FLAIR MR image.
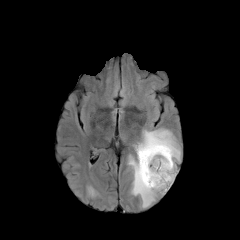
T1-weighted MR.
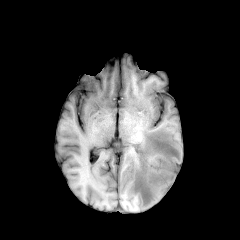
Post-contrast T1-weighted MRI.
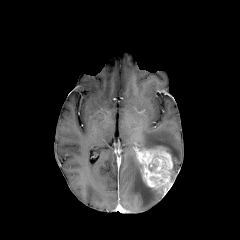
T2-weighted MRI.
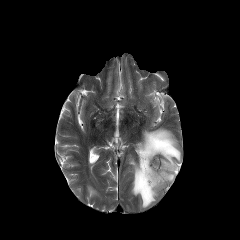
Head | Axial view
enhancing tumor = [135, 146, 175, 193]
peritumoral edema = [135, 128, 181, 175], [128, 155, 164, 208]